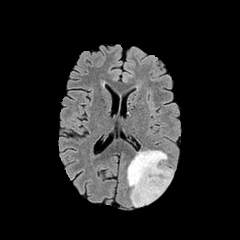
FLAIR MRI.
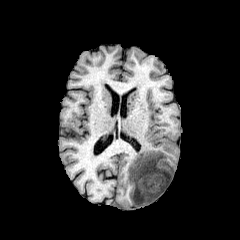
Same slice, T1-weighted MR.
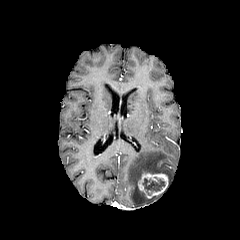
Same slice, post-contrast T1-weighted MR image.
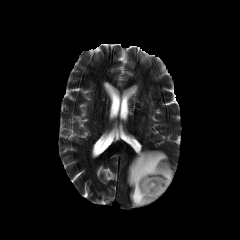
T2-weighted MR image.
Brain. Image size 240x240.
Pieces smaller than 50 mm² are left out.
The peritumoral edema lies within (127, 150, 173, 206). The largest enhancing tumor region is bounded by (138, 172, 168, 198). The largest necrotic tumor core region lies within (143, 178, 164, 195).